Axial slice; Head; Image width 240 mm
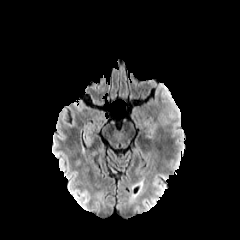
FLAIR MR.
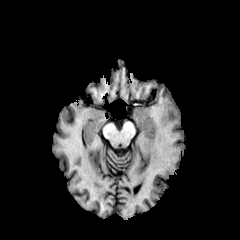
Same slice, T1-weighted MR.
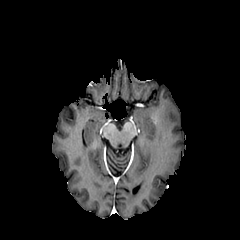
Post-contrast T1-weighted MR.
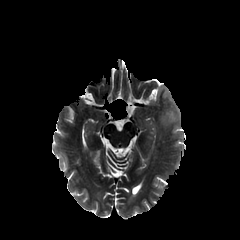
Same slice, T2-weighted magnetic resonance.
peritumoral edema: (158,91,180,125)